Axial view. Head.
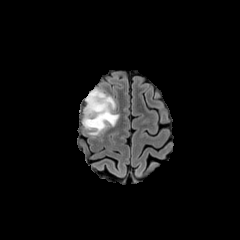
FLAIR magnetic resonance.
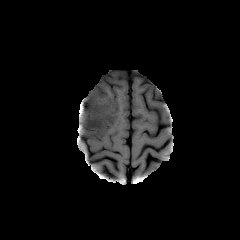
Same slice, T1-weighted MRI.
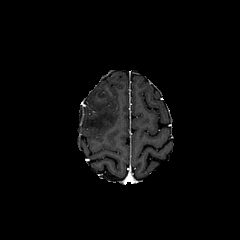
Post-contrast T1-weighted magnetic resonance of the same slice.
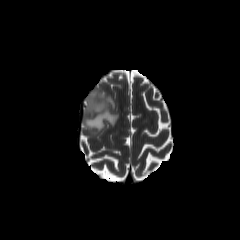
T2-weighted MR.
peritumoral edema = [82,88,119,135]